FLAIR magnetic resonance.
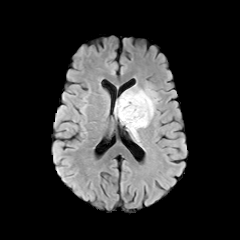
T1-weighted magnetic resonance.
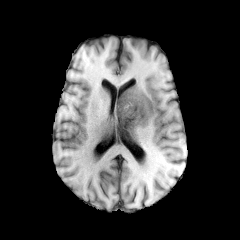
Post-contrast T1-weighted MRI.
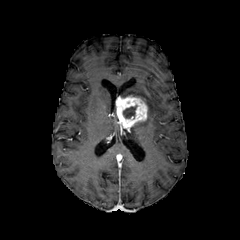
T2-weighted magnetic resonance.
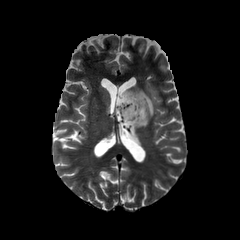
Axial slice.
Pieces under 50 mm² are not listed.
- enhancing tumor: [115, 95, 147, 129]
- necrotic tumor core: [123, 107, 135, 118]
- peritumoral edema: [121, 85, 157, 141]